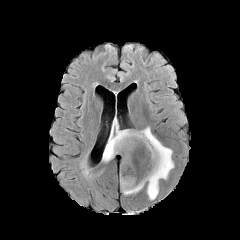
FLAIR MRI.
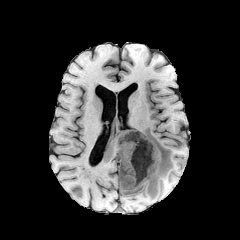
T1-weighted MR.
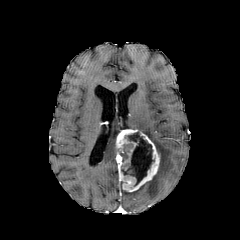
Post-contrast T1-weighted MRI.
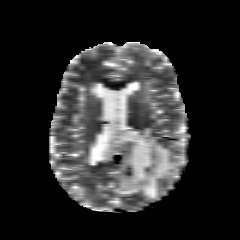
T2-weighted magnetic resonance of the same slice.
240x240 px
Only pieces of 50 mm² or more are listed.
The necrotic tumor core is at 121 132 153 185. The largest enhancing tumor region is at 116 129 160 192. The 3 largest peritumoral edema regions are located at 117 148 127 161, 120 127 174 200, 102 120 119 162.